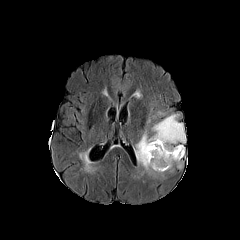
FLAIR MR image.
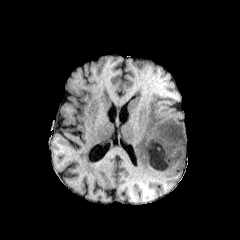
T1-weighted MR of the same slice.
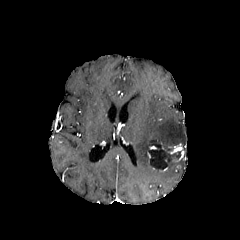
Post-contrast T1-weighted MR image.
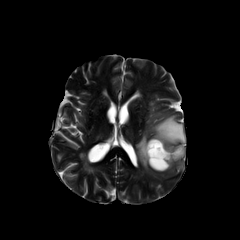
T2-weighted MRI.
Axial plane. 240x240 px.
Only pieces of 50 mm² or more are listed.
enhancing tumor at 168:144:184:161
peritumoral edema at 134:114:185:176, 168:160:182:171
necrotic tumor core at 148:144:180:170